Slice 77/155 | Axial view
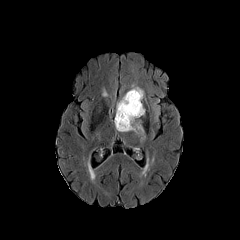
FLAIR MRI.
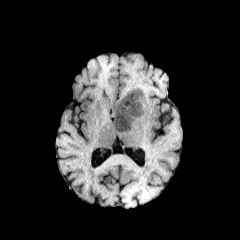
T1-weighted magnetic resonance.
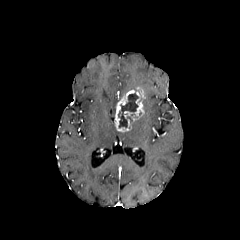
Post-contrast T1-weighted magnetic resonance of the same slice.
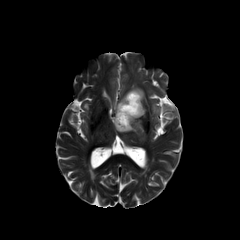
T2-weighted MR image.
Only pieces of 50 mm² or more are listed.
enhancing tumor: <box>114,87,144,131</box> | peritumoral edema: <box>131,120,144,139</box> | necrotic tumor core: <box>118,92,138,127</box>